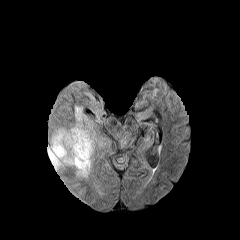
FLAIR MR.
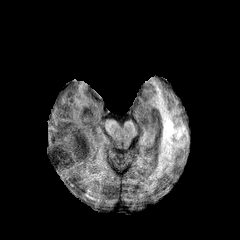
T1-weighted MR.
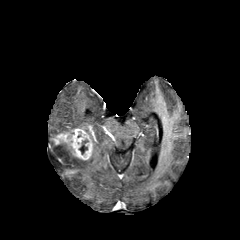
Post-contrast T1-weighted MRI.
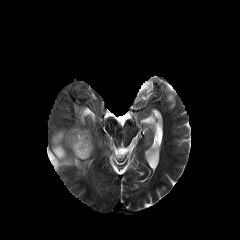
Same slice, T2-weighted MR image.
Image size 240x240
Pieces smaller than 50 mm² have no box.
The largest necrotic tumor core region is located at (x1=79, y1=139, x2=88, y2=154). The 2 largest peritumoral edema regions appear at (x1=48, y1=139, x2=91, y2=176), (x1=75, y1=106, x2=81, y2=121). The enhancing tumor is bounded by (x1=53, y1=128, x2=92, y2=160).